FLAIR MRI.
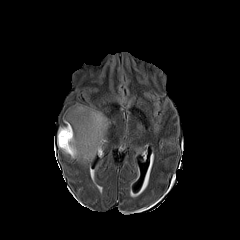
T1-weighted MR.
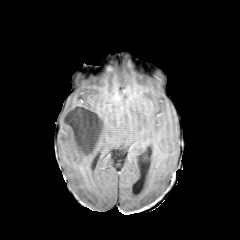
Post-contrast T1-weighted magnetic resonance.
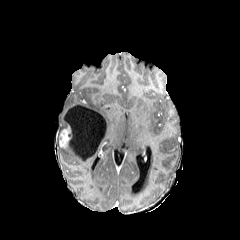
T2-weighted magnetic resonance.
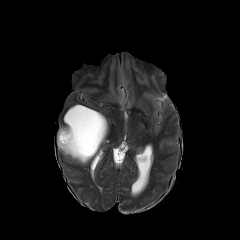
Axial plane; Head
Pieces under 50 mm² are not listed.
necrotic tumor core = 64 105 105 160
peritumoral edema = 72 103 110 148, 57 115 97 164
enhancing tumor = 59 125 70 147